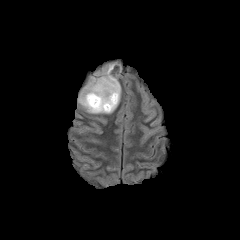
FLAIR MR image.
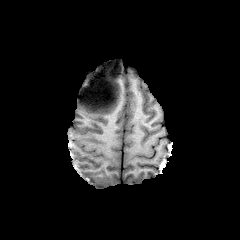
T1-weighted MR image of the same slice.
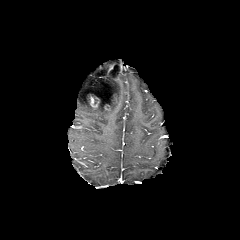
Same slice, post-contrast T1-weighted MR.
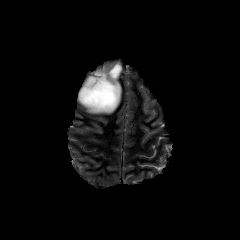
T2-weighted magnetic resonance.
Brain
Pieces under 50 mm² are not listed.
Findings:
• peritumoral edema: x1=78 y1=65 x2=121 y2=113
• necrotic tumor core: x1=109 y1=68 x2=118 y2=77, x1=86 y1=77 x2=116 y2=108
• enhancing tumor: x1=90 y1=96 x2=99 y2=109